Brain | Slice 106/155
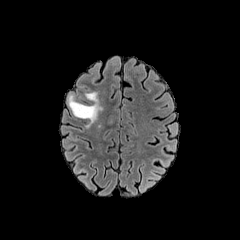
FLAIR MR image.
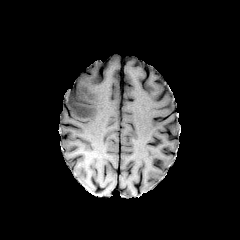
T1-weighted magnetic resonance.
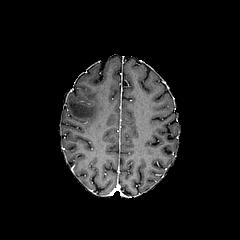
Post-contrast T1-weighted MR.
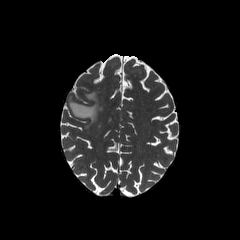
T2-weighted MR of the same slice.
The peritumoral edema lies within 68,92,102,128.